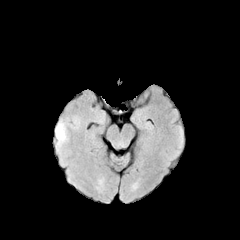
FLAIR MR.
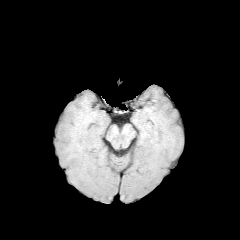
T1-weighted magnetic resonance.
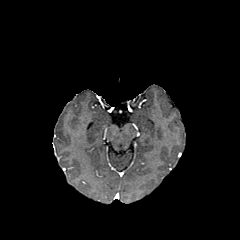
Post-contrast T1-weighted MR image of the same slice.
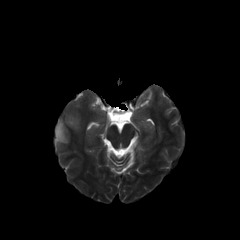
T2-weighted MR.
Brain; Axial plane
peritumoral_edema:
  - x1=55 y1=115 x2=80 y2=153